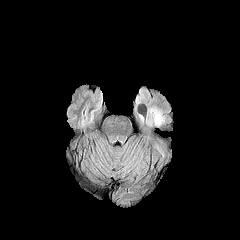
FLAIR MR image.
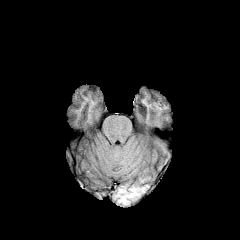
T1-weighted magnetic resonance of the same slice.
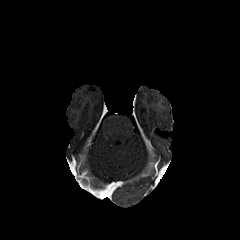
Post-contrast T1-weighted MR.
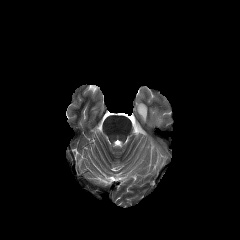
Same slice, T2-weighted MR image.
240x240
peritumoral edema — (152, 110, 163, 124)